FLAIR MRI.
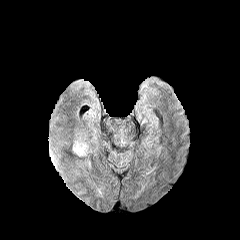
T1-weighted magnetic resonance.
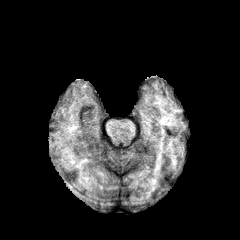
Post-contrast T1-weighted MR image.
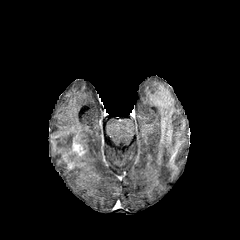
T2-weighted MR image.
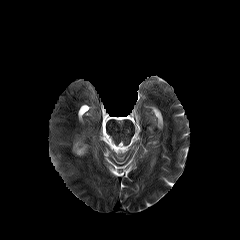
Head | Axial view | 240x240 px
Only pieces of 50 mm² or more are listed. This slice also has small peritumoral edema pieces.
Annotated regions:
- enhancing tumor: 73 141 85 155